FLAIR magnetic resonance.
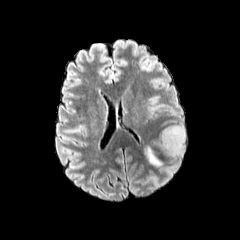
T1-weighted MR.
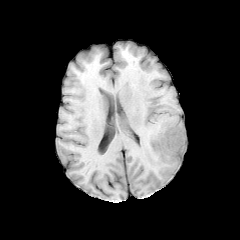
Post-contrast T1-weighted magnetic resonance.
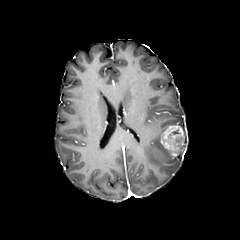
T2-weighted magnetic resonance.
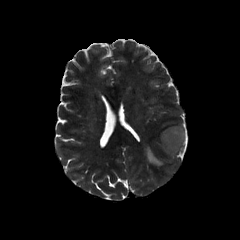
240x240 px
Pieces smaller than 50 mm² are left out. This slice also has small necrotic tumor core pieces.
{
  "enhancing_tumor": [
    "[x1=160, y1=124, x2=185, y2=157]"
  ],
  "peritumoral_edema": [
    "[x1=146, y1=147, x2=161, y2=166]",
    "[x1=159, y1=142, x2=181, y2=159]"
  ]
}